FLAIR MR image.
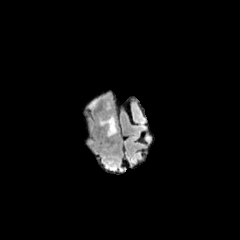
T1-weighted MRI.
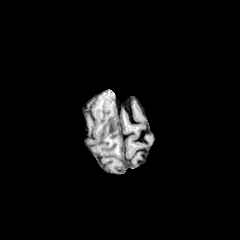
Post-contrast T1-weighted MR.
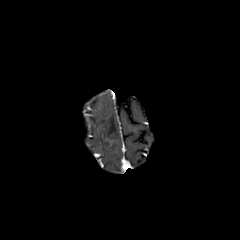
T2-weighted MR image.
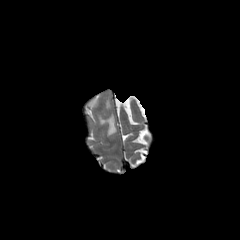
Head
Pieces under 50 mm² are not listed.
peritumoral edema = (x1=100, y1=115, x2=116, y2=135)